Axial view | Slice 101 of 155
FLAIR magnetic resonance.
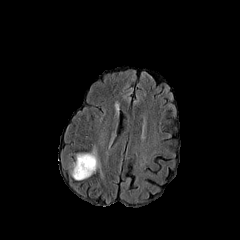
T1-weighted MR image.
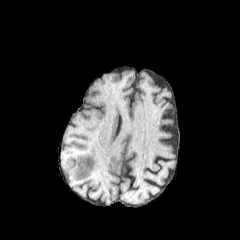
Post-contrast T1-weighted MRI.
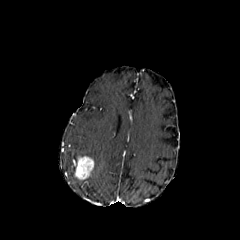
T2-weighted MR.
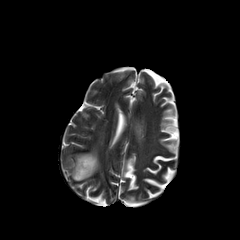
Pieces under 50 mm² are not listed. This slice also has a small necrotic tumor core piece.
Annotated regions:
• enhancing tumor: {"x1": 74, "y1": 156, "x2": 94, "y2": 179}
• peritumoral edema: {"x1": 71, "y1": 163, "x2": 81, "y2": 180}, {"x1": 75, "y1": 146, "x2": 105, "y2": 178}